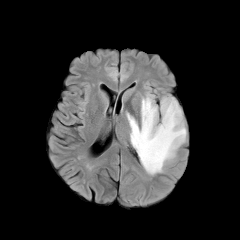
FLAIR magnetic resonance.
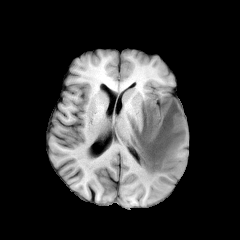
T1-weighted MR image of the same slice.
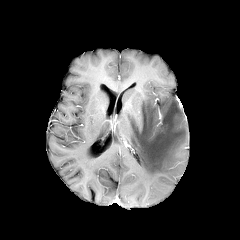
Same slice, post-contrast T1-weighted MR.
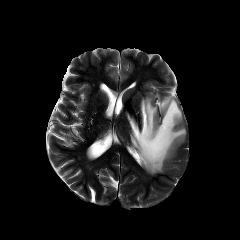
T2-weighted MR image.
240x240
peritumoral edema at bbox(127, 95, 186, 175)